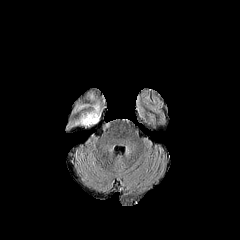
FLAIR MR image.
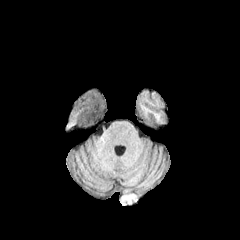
Same slice, T1-weighted MR image.
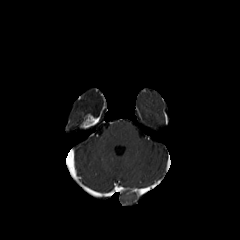
Same slice, post-contrast T1-weighted MR image.
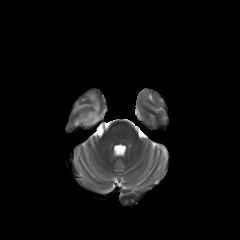
T2-weighted MR image.
Axial slice
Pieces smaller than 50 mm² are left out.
peritumoral_edema:
  - l=75, t=104, r=90, b=110
  - l=75, t=101, r=99, b=123
enhancing_tumor:
  - l=81, t=113, r=99, b=128